Head, Image width 240 mm
FLAIR magnetic resonance.
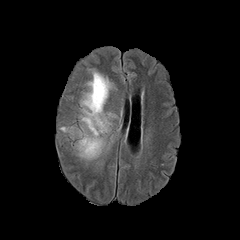
T1-weighted MR.
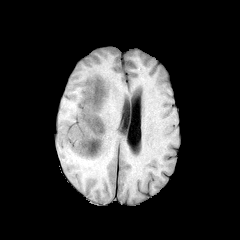
Post-contrast T1-weighted MR.
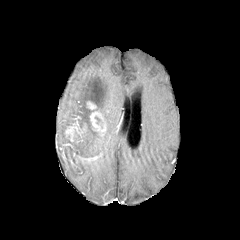
T2-weighted MR.
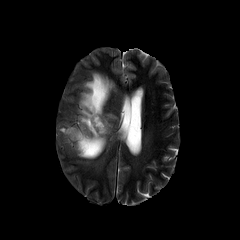
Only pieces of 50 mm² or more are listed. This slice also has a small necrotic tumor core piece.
{"peritumoral_edema": ["(x1=80, y1=70, x2=115, y2=155)"], "enhancing_tumor": ["(x1=87, y1=101, x2=106, y2=136)", "(x1=63, y1=124, x2=104, y2=158)"]}